Image width 240 mm. Axial view. Slice index 34.
FLAIR magnetic resonance.
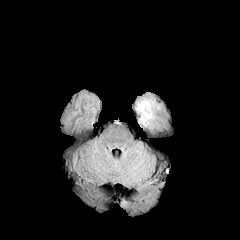
T1-weighted MRI.
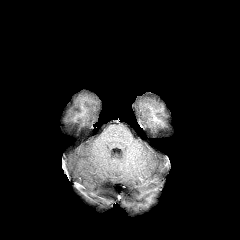
Post-contrast T1-weighted MR.
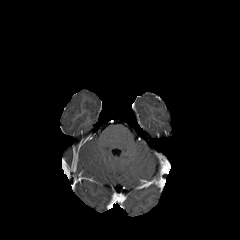
T2-weighted MR image.
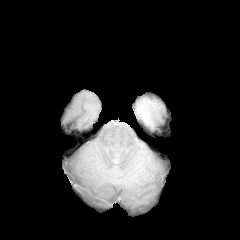
peritumoral edema: x1=136 y1=97 x2=159 y2=126